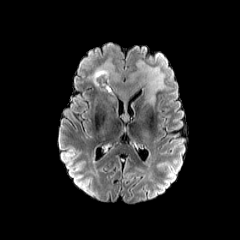
FLAIR MR.
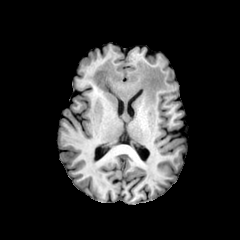
Same slice, T1-weighted MR.
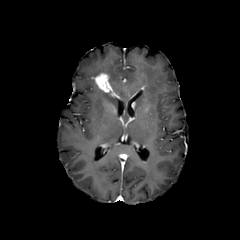
Post-contrast T1-weighted MRI of the same slice.
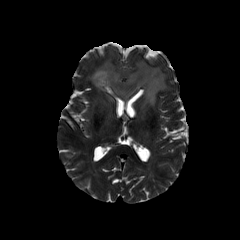
T2-weighted MR image of the same slice.
Axial view, Head
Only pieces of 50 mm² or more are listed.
<segmentation>
  <enhancing_tumor>bbox(93, 73, 117, 96)</enhancing_tumor>
  <peritumoral_edema>bbox(89, 60, 166, 105)</peritumoral_edema>
</segmentation>